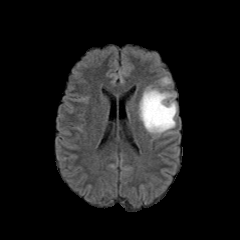
FLAIR MR image.
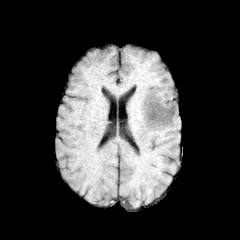
T1-weighted MR image.
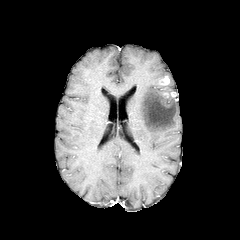
Post-contrast T1-weighted MR.
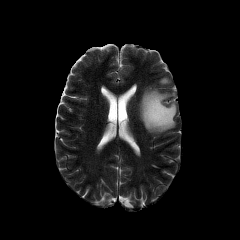
T2-weighted MR image of the same slice.
Head; Axial slice
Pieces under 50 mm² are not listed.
enhancing tumor: <bbox>160, 76, 169, 85</bbox>
peritumoral edema: <bbox>139, 87, 176, 134</bbox>